Slice index 90 | Axial plane | Head
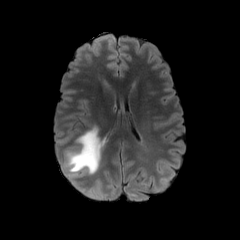
FLAIR MR image.
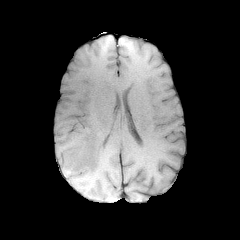
T1-weighted MR image of the same slice.
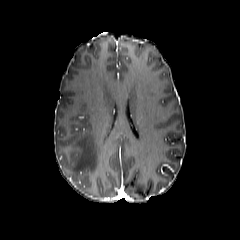
Post-contrast T1-weighted MR of the same slice.
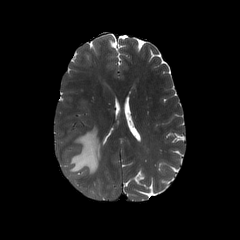
T2-weighted magnetic resonance.
The peritumoral edema appears at [65,126,104,175].